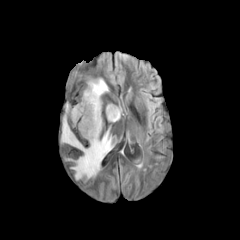
FLAIR MR.
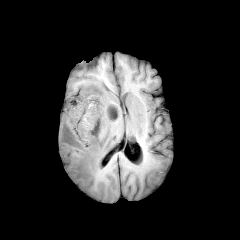
T1-weighted MR.
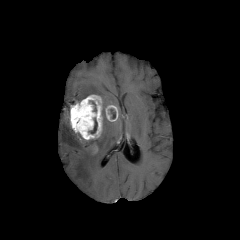
Post-contrast T1-weighted MR of the same slice.
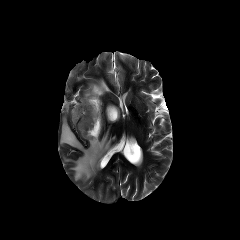
Same slice, T2-weighted MRI.
Axial plane
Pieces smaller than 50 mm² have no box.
necrotic_tumor_core:
  - l=89, t=118, r=97, b=133
peritumoral_edema:
  - l=82, t=78, r=108, b=99
  - l=61, t=103, r=113, b=180
enhancing_tumor:
  - l=92, t=143, r=98, b=154
  - l=105, t=105, r=118, b=121
  - l=68, t=94, r=102, b=140